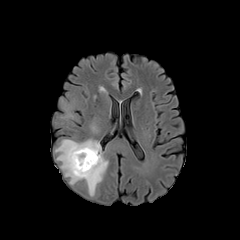
FLAIR MRI.
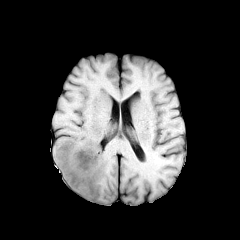
T1-weighted MR.
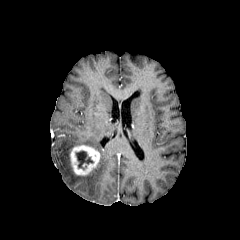
Post-contrast T1-weighted MR of the same slice.
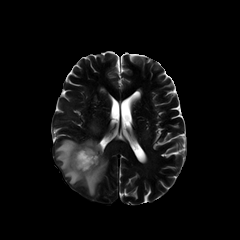
T2-weighted MRI of the same slice.
240x240.
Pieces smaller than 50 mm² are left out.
<segmentation>
  <necrotic_tumor_core>region(76, 151, 93, 169)</necrotic_tumor_core>
  <peritumoral_edema>region(55, 139, 108, 196)</peritumoral_edema>
  <enhancing_tumor>region(70, 145, 100, 175)</enhancing_tumor>
</segmentation>